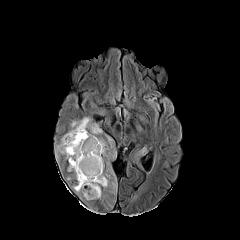
FLAIR magnetic resonance.
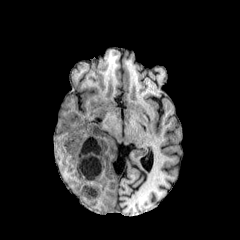
Same slice, T1-weighted MR.
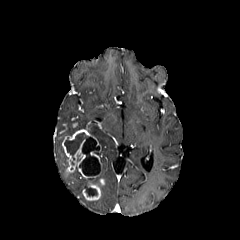
Post-contrast T1-weighted magnetic resonance of the same slice.
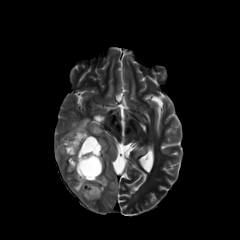
Same slice, T2-weighted magnetic resonance.
240x240 | Head
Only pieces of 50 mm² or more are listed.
Segmented structures:
* peritumoral edema: 110 169 116 193, 55 117 102 160, 73 158 109 193, 107 136 116 157, 97 138 107 156
* enhancing tumor: 62 129 101 179, 90 151 101 172, 82 182 100 200
* necrotic tumor core: 85 185 97 196, 64 133 100 175